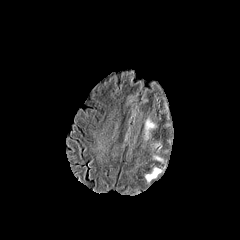
FLAIR MR image.
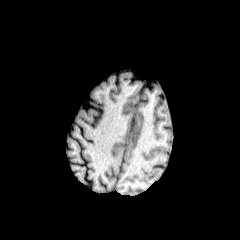
Same slice, T1-weighted MR.
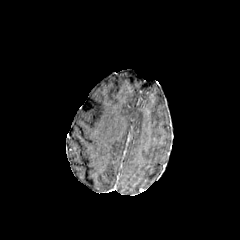
Same slice, post-contrast T1-weighted MR.
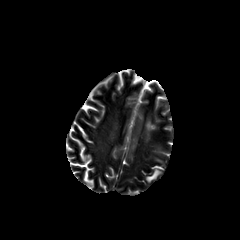
T2-weighted MR of the same slice.
Axial plane
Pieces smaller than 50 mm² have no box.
peritumoral edema = <bbox>146, 168, 160, 181</bbox>